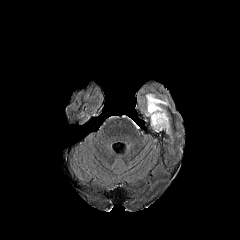
FLAIR MRI.
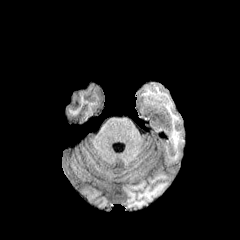
T1-weighted MR image.
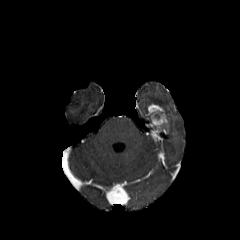
Same slice, post-contrast T1-weighted MR image.
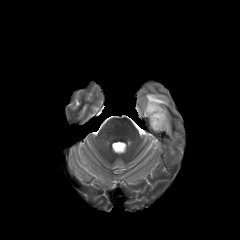
Same slice, T2-weighted MRI.
Head; Image size 240x240
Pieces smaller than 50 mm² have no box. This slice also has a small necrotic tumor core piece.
enhancing tumor: bbox(146, 104, 169, 139) | peritumoral edema: bbox(137, 83, 170, 120)